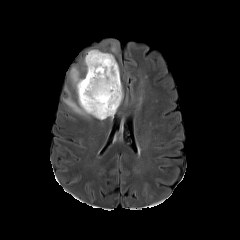
FLAIR MRI.
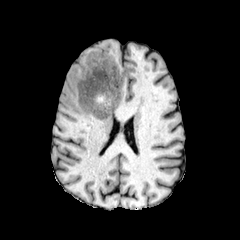
T1-weighted magnetic resonance.
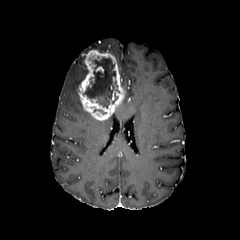
Post-contrast T1-weighted MR image.
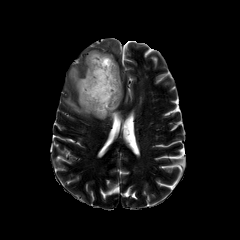
T2-weighted MR of the same slice.
Head, 240x240
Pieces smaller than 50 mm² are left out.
peritumoral edema: 63 64 90 117 | enhancing tumor: 78 50 124 120 | necrotic tumor core: 84 56 115 107